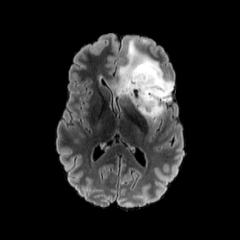
FLAIR MR.
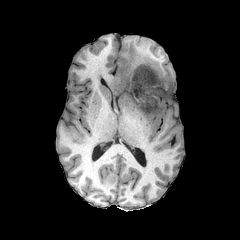
Same slice, T1-weighted magnetic resonance.
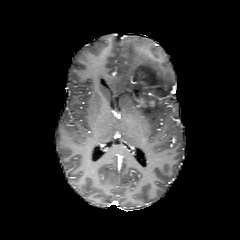
Post-contrast T1-weighted MRI.
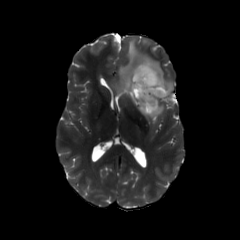
T2-weighted MR of the same slice.
Image size 240x240
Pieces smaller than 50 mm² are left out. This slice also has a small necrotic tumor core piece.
enhancing tumor = box(133, 96, 155, 107); box(147, 91, 166, 102)
peritumoral edema = box(112, 38, 173, 124)